Slice 85 of 155 | Image size 240x240
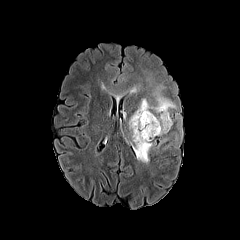
FLAIR MR image.
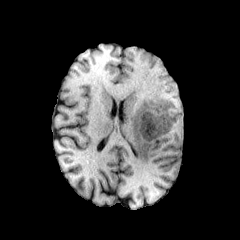
T1-weighted magnetic resonance of the same slice.
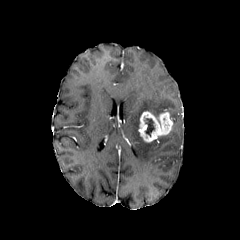
Same slice, post-contrast T1-weighted MRI.
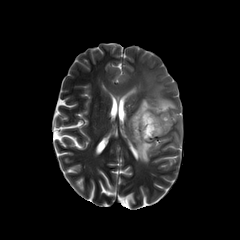
T2-weighted MRI.
enhancing_tumor:
  - (138,109,172,142)
necrotic_tumor_core:
  - (145,118,154,136)
peritumoral_edema:
  - (129,85,175,163)